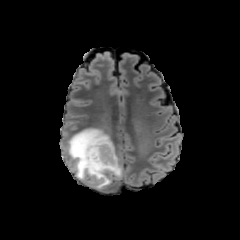
FLAIR magnetic resonance.
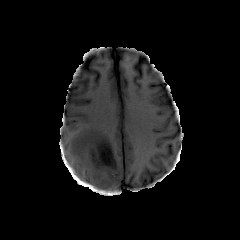
T1-weighted MR image.
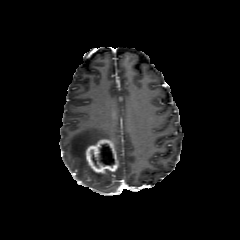
Post-contrast T1-weighted MR image of the same slice.
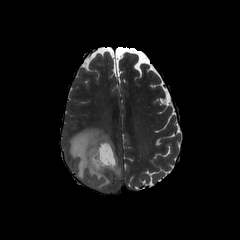
T2-weighted MR image.
The necrotic tumor core lies within (left=91, top=144, right=114, bottom=167). The enhancing tumor is at (left=86, top=139, right=118, bottom=173). The peritumoral edema appears at (left=67, top=128, right=122, bottom=189).